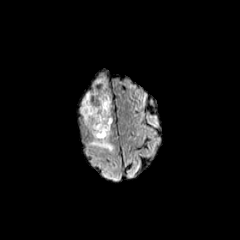
FLAIR MRI.
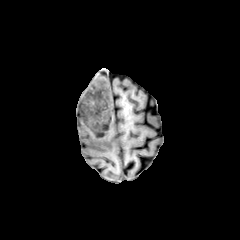
Same slice, T1-weighted magnetic resonance.
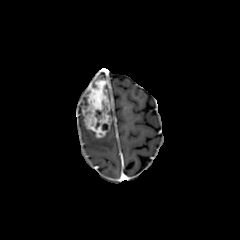
Post-contrast T1-weighted MR of the same slice.
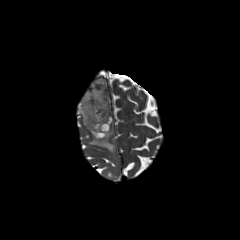
T2-weighted MR.
240x240; Brain; Axial plane
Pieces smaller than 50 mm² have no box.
enhancing tumor: {"x1": 82, "y1": 79, "x2": 111, "y2": 138} | peritumoral edema: {"x1": 80, "y1": 91, "x2": 89, "y2": 128}, {"x1": 89, "y1": 128, "x2": 114, "y2": 151} | necrotic tumor core: {"x1": 95, "y1": 110, "x2": 101, "y2": 120}